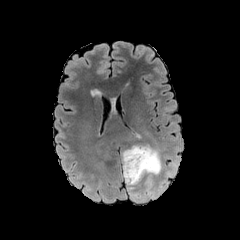
FLAIR MR.
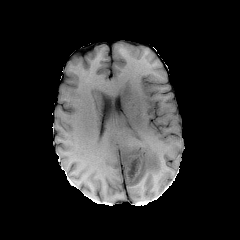
T1-weighted MR image.
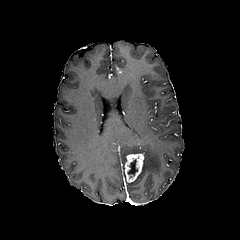
Post-contrast T1-weighted MR of the same slice.
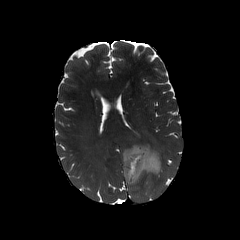
Same slice, T2-weighted magnetic resonance.
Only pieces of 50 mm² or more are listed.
peritumoral_edema:
  - (121,144,164,196)
necrotic_tumor_core:
  - (127,159,137,175)
enhancing_tumor:
  - (124,153,144,182)